Slice 92 of 155, Brain
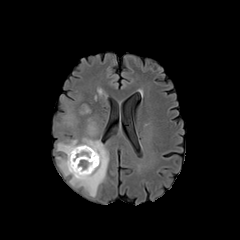
FLAIR MR.
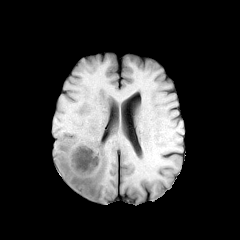
T1-weighted magnetic resonance of the same slice.
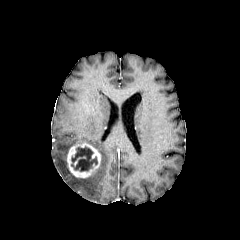
Post-contrast T1-weighted MR image.
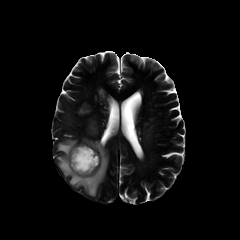
Same slice, T2-weighted magnetic resonance.
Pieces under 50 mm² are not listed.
peritumoral edema: (81, 105, 89, 113), (87, 122, 96, 135), (56, 137, 109, 197) | enhancing tumor: (67, 142, 100, 178) | necrotic tumor core: (71, 146, 97, 171)